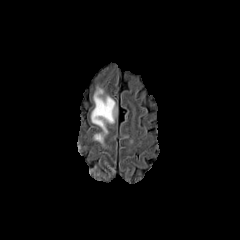
FLAIR MRI.
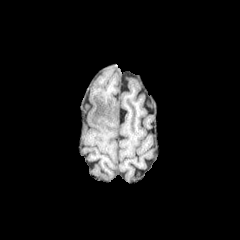
T1-weighted MRI.
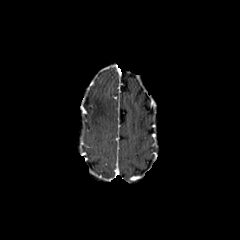
Post-contrast T1-weighted MR image.
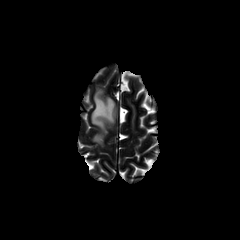
T2-weighted MR of the same slice.
240x240. Brain.
peritumoral edema: {"x1": 94, "y1": 134, "x2": 103, "y2": 142}, {"x1": 91, "y1": 88, "x2": 116, "y2": 133}